FLAIR MRI.
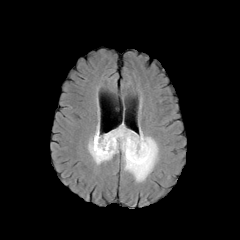
T1-weighted MR.
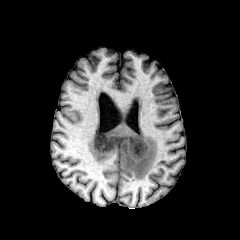
Post-contrast T1-weighted magnetic resonance.
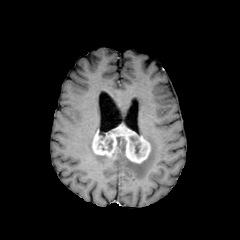
T2-weighted MR.
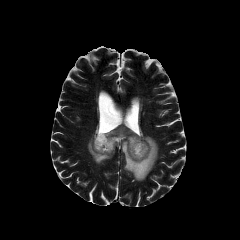
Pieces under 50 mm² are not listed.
peritumoral edema: (x1=87, y1=129, x2=158, y2=181) | necrotic tumor core: (x1=135, y1=143, x2=140, y2=156), (x1=117, y1=137, x2=125, y2=149) | enhancing tumor: (x1=92, y1=126, x2=150, y2=163)